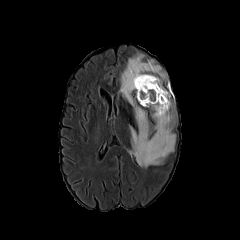
FLAIR MR image.
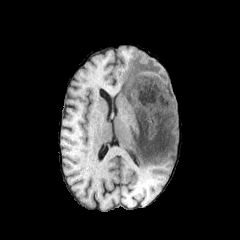
Same slice, T1-weighted magnetic resonance.
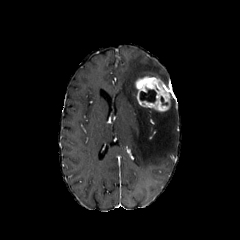
Post-contrast T1-weighted MR image.
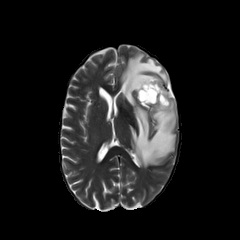
T2-weighted MR image.
Head; Axial view
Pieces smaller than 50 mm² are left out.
necrotic tumor core: {"x1": 140, "y1": 89, "x2": 156, "y2": 102}
enhancing tumor: {"x1": 135, "y1": 76, "x2": 174, "y2": 111}
peritumoral edema: {"x1": 119, "y1": 53, "x2": 176, "y2": 167}